Head | Image size 240x240 | Axial slice
FLAIR magnetic resonance.
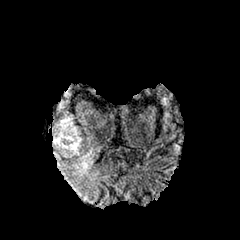
T1-weighted MR image.
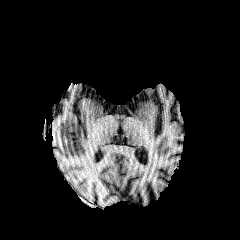
Post-contrast T1-weighted magnetic resonance.
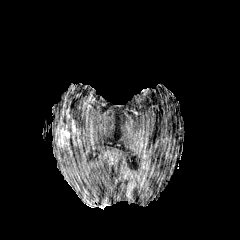
T2-weighted MR image.
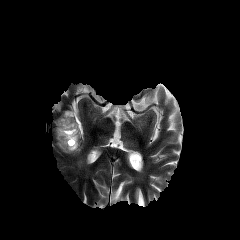
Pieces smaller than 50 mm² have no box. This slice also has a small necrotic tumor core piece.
peritumoral edema: bounding box <box>77,150,94,171</box>, <box>57,146,80,155</box>
enhancing tumor: bounding box <box>56,113,81,151</box>